Image width 240 mm, 1.00 mm slice spacing
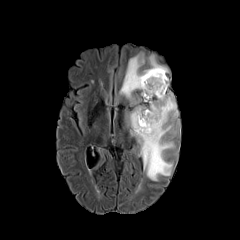
FLAIR MR.
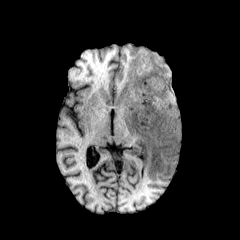
Same slice, T1-weighted MRI.
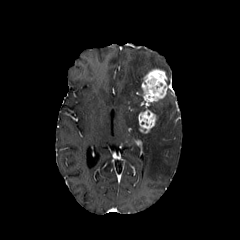
Same slice, post-contrast T1-weighted MRI.
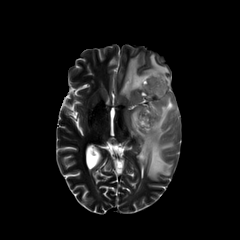
Same slice, T2-weighted MRI.
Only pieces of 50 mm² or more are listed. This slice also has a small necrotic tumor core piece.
<segmentation>
  <peritumoral_edema>x1=128, y1=92, x2=178, y2=180; x1=120, y1=53, x2=169, y2=104</peritumoral_edema>
  <enhancing_tumor>x1=141, y1=68, x2=168, y2=101; x1=138, y1=106, x2=157, y2=133</enhancing_tumor>
</segmentation>